FLAIR MRI.
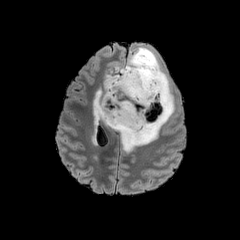
T1-weighted MRI.
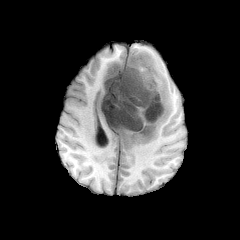
Post-contrast T1-weighted MR.
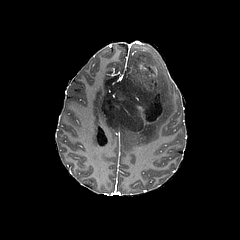
T2-weighted MR.
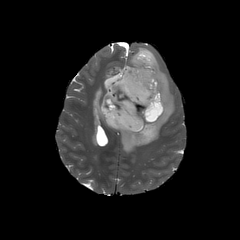
3 peritumoral edema regions are located at 112,47,174,151; 93,89,106,124; 104,65,122,91. The necrotic tumor core appears at 101,54,165,131.